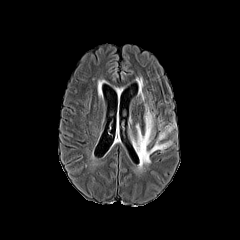
FLAIR MRI.
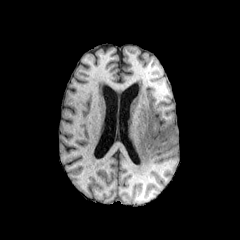
T1-weighted MR of the same slice.
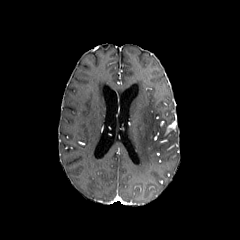
Same slice, post-contrast T1-weighted MRI.
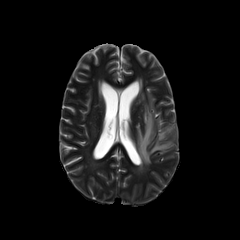
Same slice, T2-weighted magnetic resonance.
Axial plane
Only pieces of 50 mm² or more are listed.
peritumoral edema = l=136, t=104, r=171, b=170
enhancing tumor = l=165, t=121, r=176, b=134